Slice 68 of 155, Axial view
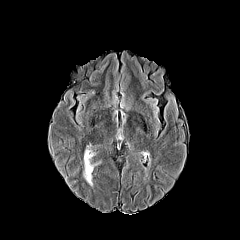
FLAIR MRI.
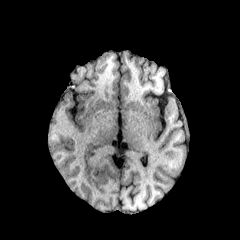
Same slice, T1-weighted MR.
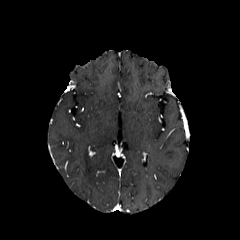
Post-contrast T1-weighted MR.
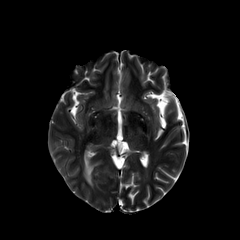
T2-weighted MRI.
The peritumoral edema is bounded by left=84, top=150, right=94, bottom=185.